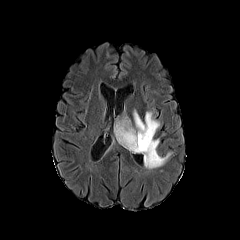
FLAIR MRI.
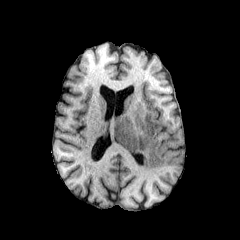
Same slice, T1-weighted MR.
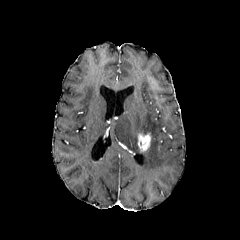
Post-contrast T1-weighted MR image.
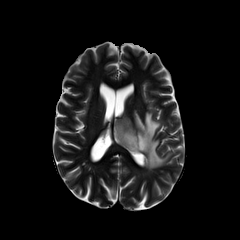
T2-weighted MRI of the same slice.
240x240. Axial slice.
{"peritumoral_edema": ["l=114, t=110, r=172, b=169"], "enhancing_tumor": ["l=137, t=133, r=151, b=151"]}